FLAIR MRI.
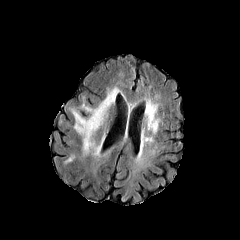
T1-weighted MR image.
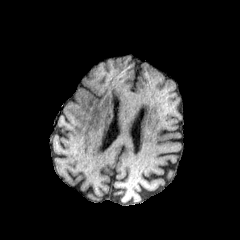
Post-contrast T1-weighted magnetic resonance.
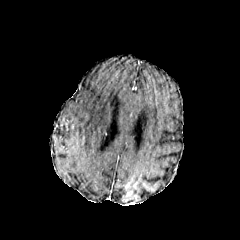
T2-weighted MRI.
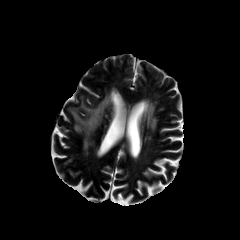
Axial slice
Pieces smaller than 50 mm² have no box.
Findings:
• peritumoral edema: region(71, 87, 119, 154)